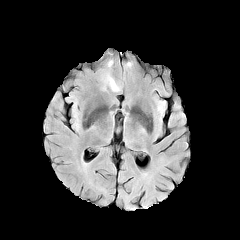
FLAIR MR.
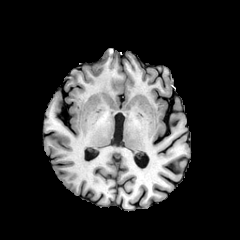
T1-weighted MR of the same slice.
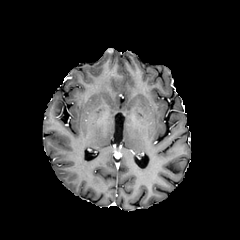
Post-contrast T1-weighted MR image.
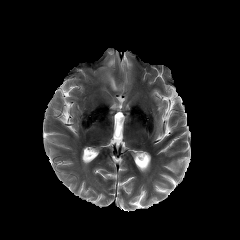
T2-weighted MRI of the same slice.
Head
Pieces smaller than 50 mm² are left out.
• peritumoral edema: l=104, t=73, r=120, b=91